Image width 240 mm | 240x240 | Brain | Slice index 132
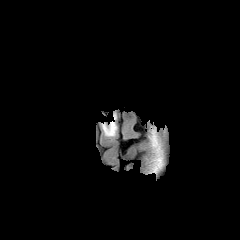
FLAIR MRI.
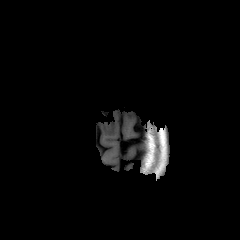
Same slice, T1-weighted MR.
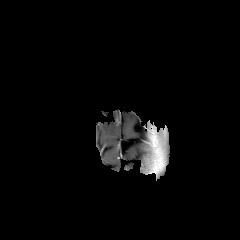
Post-contrast T1-weighted MR image.
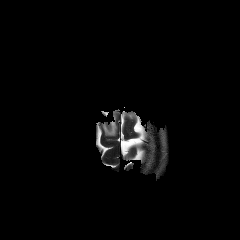
T2-weighted MR.
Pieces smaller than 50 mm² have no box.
<segmentation>
  <peritumoral_edema>[101, 121, 117, 136]</peritumoral_edema>
</segmentation>